FLAIR MR image.
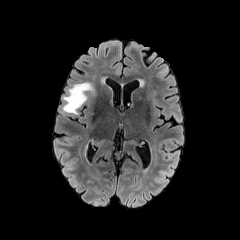
T1-weighted MR.
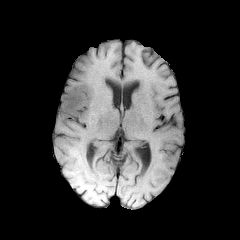
Post-contrast T1-weighted MRI.
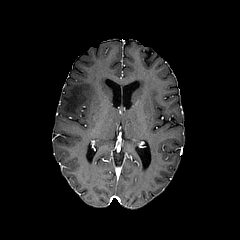
T2-weighted MRI.
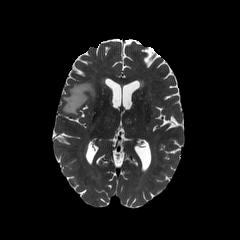
Head
peritumoral edema = <bbox>62, 82, 94, 114</bbox>